FLAIR MRI.
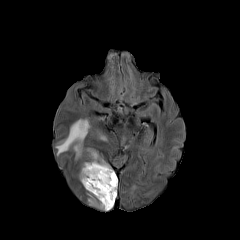
T1-weighted magnetic resonance.
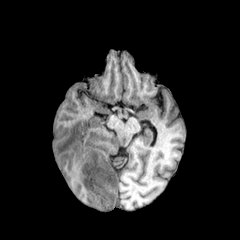
Post-contrast T1-weighted magnetic resonance.
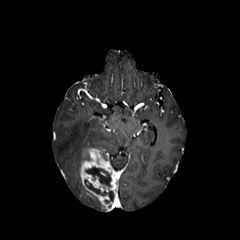
T2-weighted MR image.
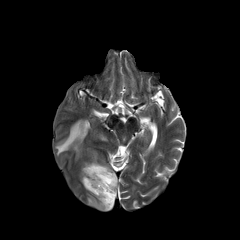
Brain, Axial plane
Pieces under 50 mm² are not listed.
enhancing_tumor:
  - [80,148,117,211]
necrotic_tumor_core:
  - [84,180,114,203]
  - [86,167,111,187]
peritumoral_edema:
  - [88,192,105,210]
  - [56,119,90,158]